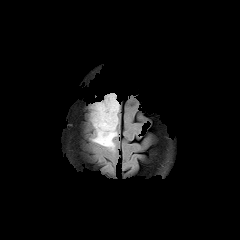
FLAIR magnetic resonance.
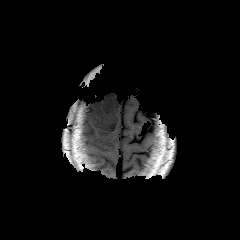
T1-weighted MR image.
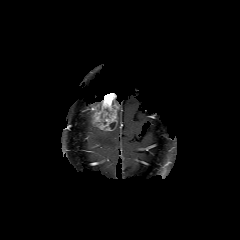
Same slice, post-contrast T1-weighted MRI.
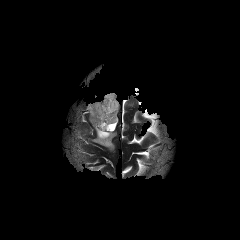
T2-weighted MR image of the same slice.
Axial plane. Image size 240x240.
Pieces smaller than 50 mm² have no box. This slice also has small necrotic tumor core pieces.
<segmentation>
  <peritumoral_edema>bbox=[92, 127, 117, 150]</peritumoral_edema>
  <enhancing_tumor>bbox=[91, 93, 118, 132]</enhancing_tumor>
</segmentation>